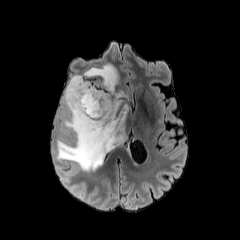
FLAIR MRI.
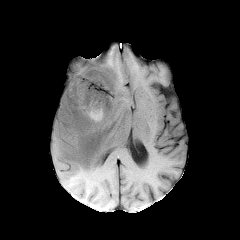
T1-weighted MR image.
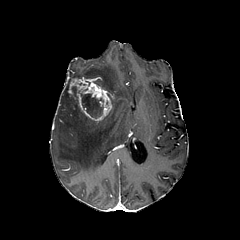
Post-contrast T1-weighted magnetic resonance of the same slice.
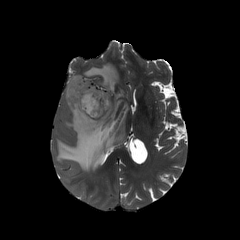
T2-weighted MRI.
Image size 240x240. Head.
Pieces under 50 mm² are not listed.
Findings:
- peritumoral edema: 57,63,128,171
- enhancing tumor: 68,77,112,122
- necrotic tumor core: 80,93,103,118